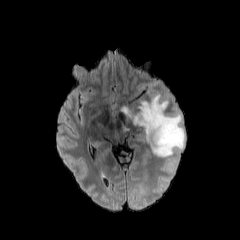
FLAIR MR.
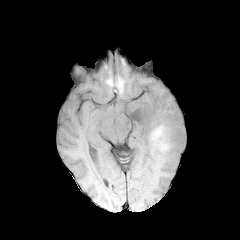
T1-weighted magnetic resonance.
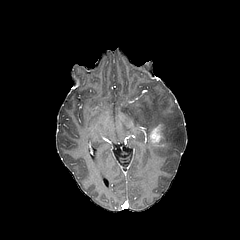
Post-contrast T1-weighted MRI.
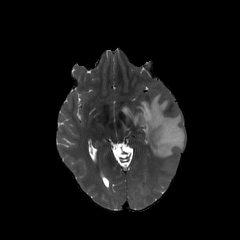
T2-weighted magnetic resonance.
Brain | 240x240 | Axial plane
• peritumoral edema: <bbox>122, 94, 185, 157</bbox>
• enhancing tumor: <bbox>150, 127, 162, 143</bbox>